Head, 240x240 px, Slice 100 of 155
FLAIR MR.
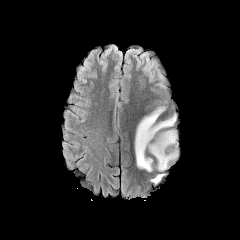
T1-weighted MR.
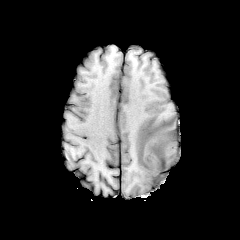
Post-contrast T1-weighted MR.
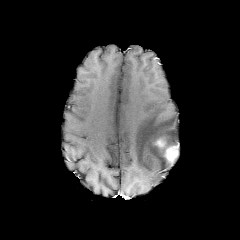
T2-weighted magnetic resonance.
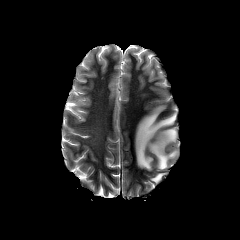
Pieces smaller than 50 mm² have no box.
The 2 largest peritumoral edema regions appear at (150, 174, 164, 183), (135, 106, 177, 171). The enhancing tumor is bounded by (154, 138, 178, 162).